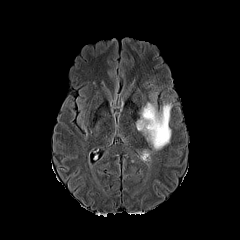
FLAIR MR.
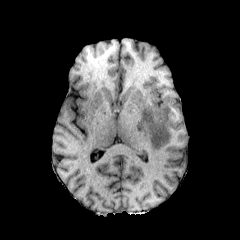
T1-weighted MRI.
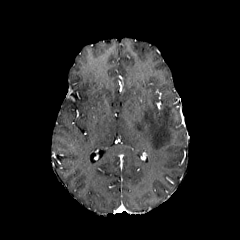
Post-contrast T1-weighted MR of the same slice.
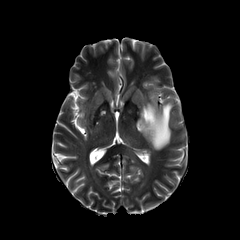
T2-weighted MR of the same slice.
Head
The peritumoral edema is bounded by bbox(136, 91, 179, 152).